FLAIR MR image.
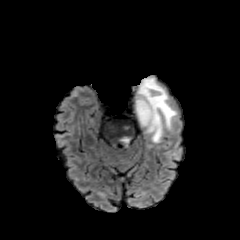
T1-weighted MRI.
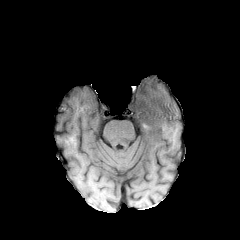
Post-contrast T1-weighted MR.
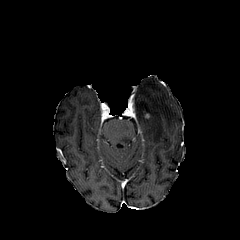
T2-weighted MR.
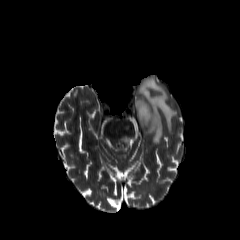
Brain
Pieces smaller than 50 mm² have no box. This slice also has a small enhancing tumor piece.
peritumoral edema: bounding box 134,77,177,143; 119,135,131,146